Slice index 69; Image size 240x240; Image width 240 mm
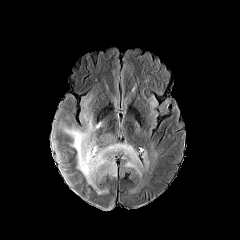
FLAIR MRI.
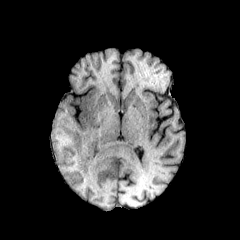
T1-weighted MR image.
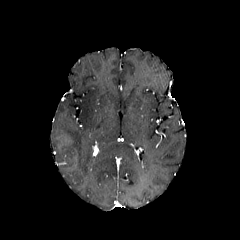
Post-contrast T1-weighted MRI of the same slice.
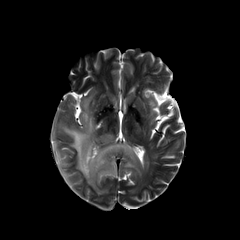
Same slice, T2-weighted MRI.
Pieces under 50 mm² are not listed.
peritumoral edema = [62,102,140,193], [59,160,80,183], [54,141,72,158]
enhancing tumor = [93,145,98,155]